Slice 110 of 155; Brain; Image size 240x240
FLAIR magnetic resonance.
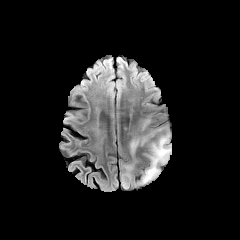
T1-weighted MRI.
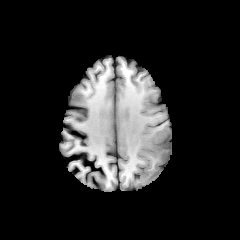
Post-contrast T1-weighted magnetic resonance.
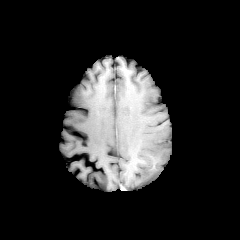
T2-weighted MRI.
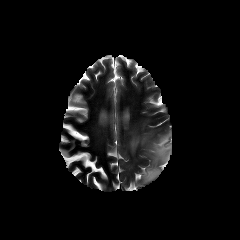
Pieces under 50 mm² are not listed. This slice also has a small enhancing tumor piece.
Annotated regions:
• peritumoral edema: <bbox>142, 131, 171, 183</bbox>, <bbox>130, 135, 149, 152</bbox>